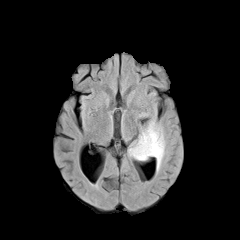
FLAIR magnetic resonance.
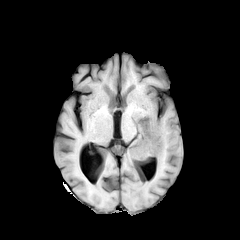
T1-weighted MRI.
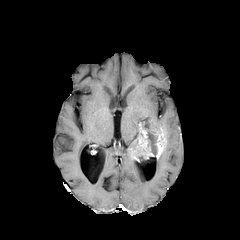
Post-contrast T1-weighted MR of the same slice.
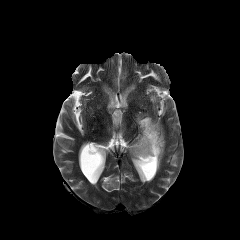
T2-weighted MRI of the same slice.
Brain
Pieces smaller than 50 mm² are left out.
2 enhancing tumor regions appear at box=[129, 125, 154, 161]; box=[153, 127, 165, 158]. The 2 largest peritumoral edema regions are bounded by box=[139, 119, 161, 127]; box=[157, 145, 165, 172]. The necrotic tumor core is located at box=[142, 125, 159, 156].